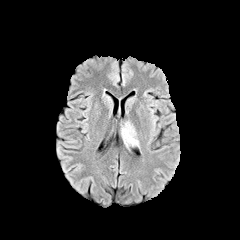
FLAIR magnetic resonance.
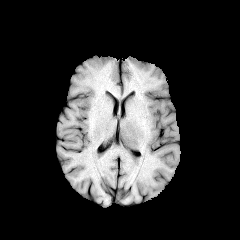
T1-weighted MR.
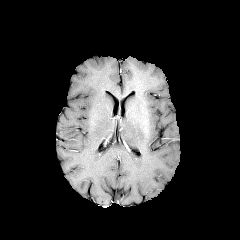
Post-contrast T1-weighted magnetic resonance.
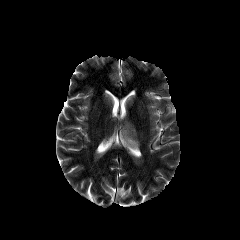
Same slice, T2-weighted MR image.
Axial plane
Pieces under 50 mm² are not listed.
peritumoral edema at (left=121, top=122, right=138, bottom=146)